FLAIR MR image.
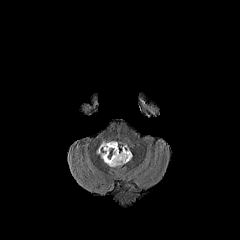
T1-weighted magnetic resonance.
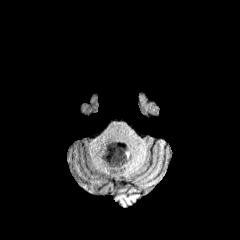
Post-contrast T1-weighted MRI.
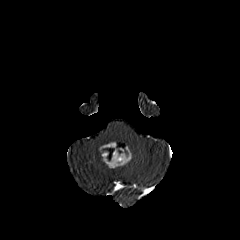
T2-weighted MR image.
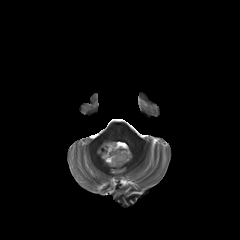
Brain, 240x240
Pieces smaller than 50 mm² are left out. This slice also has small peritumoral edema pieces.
necrotic_tumor_core:
  - 102,148,114,160
enhancing_tumor:
  - 99,142,131,168